Slice 108 of 155. Brain.
FLAIR MR.
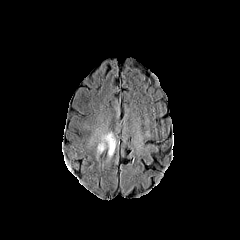
T1-weighted MR.
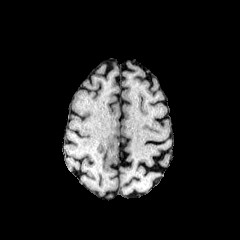
Post-contrast T1-weighted MRI.
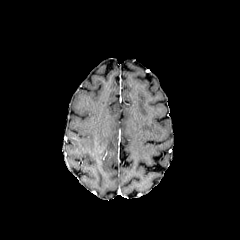
T2-weighted MR.
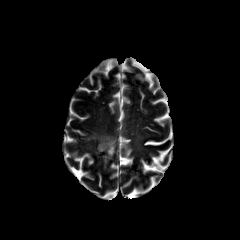
peritumoral_edema:
  - (98, 133, 115, 157)